Slice 97/155, Axial view, Image width 240 mm, 1.00 mm slice spacing, Head
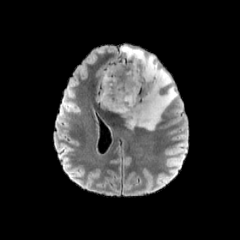
FLAIR MR image.
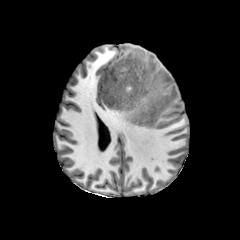
Same slice, T1-weighted MRI.
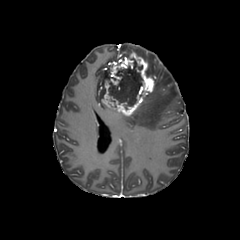
Post-contrast T1-weighted MR of the same slice.
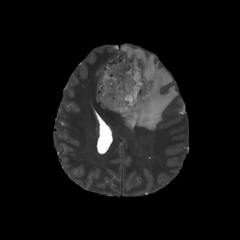
T2-weighted MR image.
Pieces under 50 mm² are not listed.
enhancing tumor — region(101, 52, 154, 116)
necrotic tumor core — region(109, 58, 142, 108)
peritumoral edema — region(121, 45, 177, 130); region(99, 68, 109, 100)